FLAIR magnetic resonance.
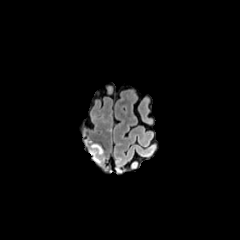
T1-weighted MRI.
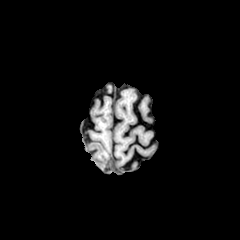
Post-contrast T1-weighted MR image.
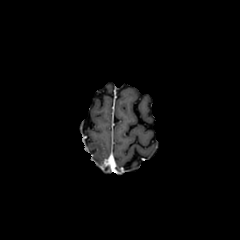
T2-weighted magnetic resonance.
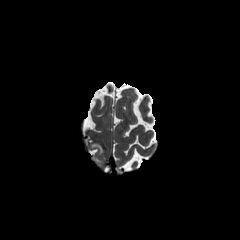
Axial view.
The peritumoral edema is located at [91, 144, 102, 153].